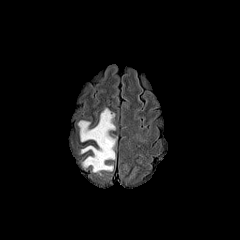
FLAIR magnetic resonance.
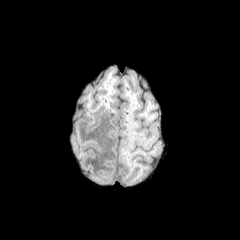
T1-weighted MRI.
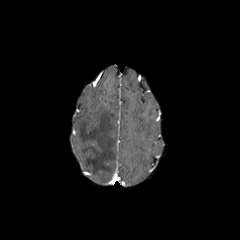
Same slice, post-contrast T1-weighted MRI.
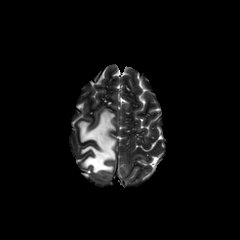
Same slice, T2-weighted MR.
240x240 px | Head
peritumoral edema = bbox(78, 108, 116, 173)